FLAIR MR.
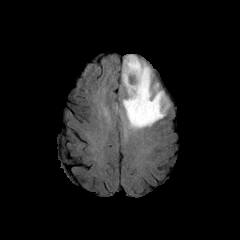
T1-weighted MRI.
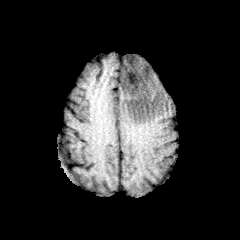
Post-contrast T1-weighted MRI.
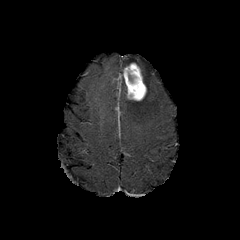
T2-weighted MRI.
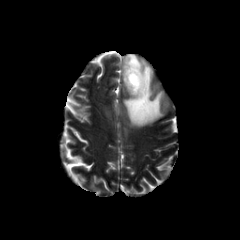
The enhancing tumor is bounded by l=123, t=62, r=146, b=100. The peritumoral edema is located at l=122, t=54, r=169, b=129.